FLAIR MR.
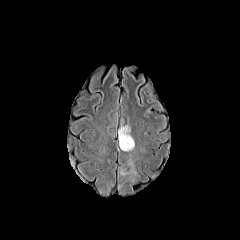
T1-weighted MRI.
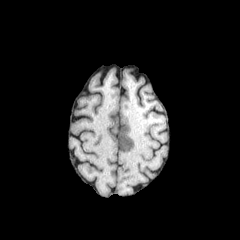
Post-contrast T1-weighted MR image.
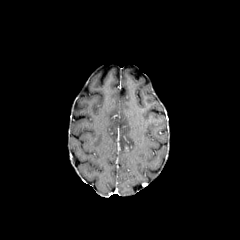
T2-weighted MRI.
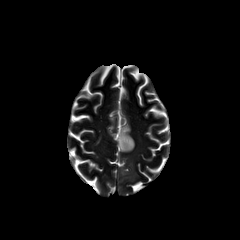
Brain
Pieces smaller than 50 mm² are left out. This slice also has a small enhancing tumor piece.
peritumoral edema = (120,161,136,180), (118,125,134,151)